Axial slice, Image width 240 mm
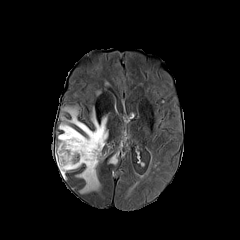
FLAIR MRI.
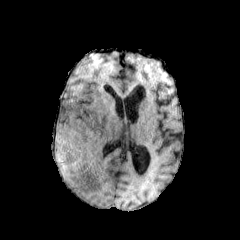
T1-weighted magnetic resonance.
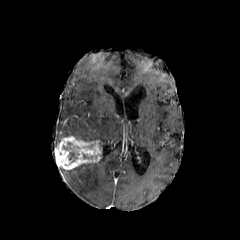
Post-contrast T1-weighted MRI of the same slice.
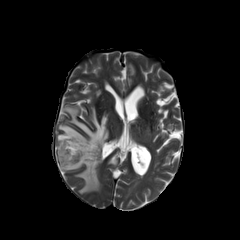
T2-weighted magnetic resonance of the same slice.
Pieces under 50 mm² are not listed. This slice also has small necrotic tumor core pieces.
The 3 largest peritumoral edema regions are located at [76,162,99,192], [58,107,107,148], [109,156,117,164]. The enhancing tumor is at [55,136,101,170].